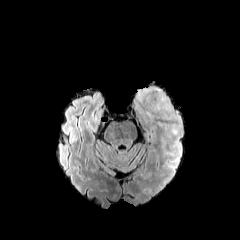
FLAIR MRI.
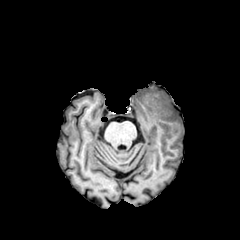
T1-weighted MR.
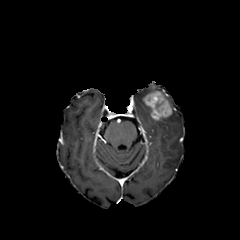
Post-contrast T1-weighted MR image of the same slice.
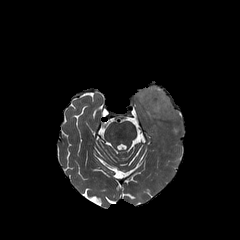
T2-weighted MR image of the same slice.
Brain. Axial view.
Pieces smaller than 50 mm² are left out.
enhancing_tumor:
  - <bbox>143, 85, 173, 120</bbox>
peritumoral_edema:
  - <bbox>162, 110, 181, 134</bbox>
  - <bbox>136, 86, 153, 119</bbox>